Slice 81/155 | Image size 240x240
FLAIR MR image.
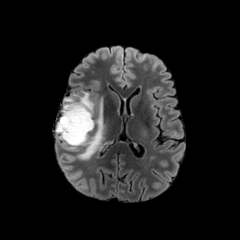
T1-weighted MR image.
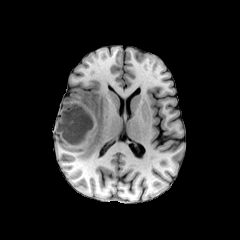
Post-contrast T1-weighted MR image.
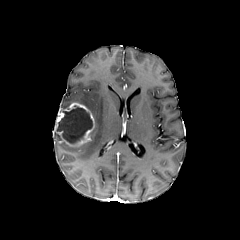
T2-weighted MR image.
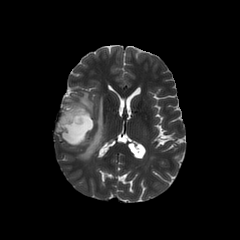
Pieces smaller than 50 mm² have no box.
Findings:
- enhancing tumor: region(55, 102, 94, 146)
- peritumoral edema: region(77, 92, 94, 115); region(77, 99, 104, 159); region(61, 94, 78, 111)
- necrotic tumor core: region(57, 105, 92, 143)